240x240 px
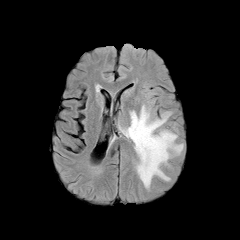
FLAIR MR.
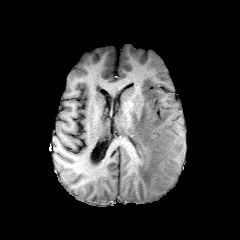
T1-weighted MR.
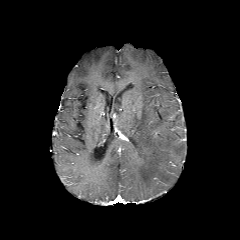
Post-contrast T1-weighted magnetic resonance.
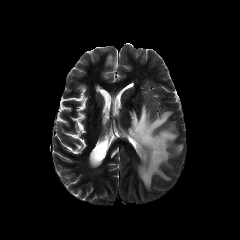
T2-weighted MR image.
The peritumoral edema is at rect(120, 105, 183, 189).